Head
FLAIR MR.
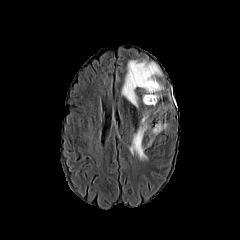
T1-weighted MR.
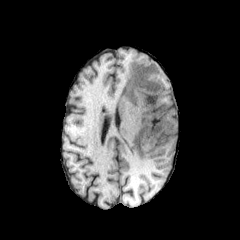
Post-contrast T1-weighted MR image.
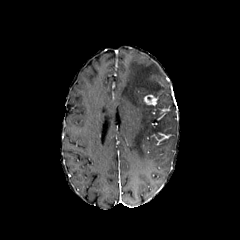
T2-weighted MRI.
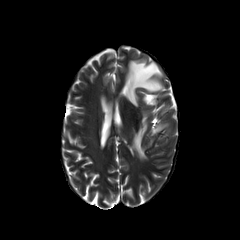
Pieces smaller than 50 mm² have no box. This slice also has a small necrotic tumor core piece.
{"enhancing_tumor": ["[144,94,157,105]"], "peritumoral_edema": ["[152,122,167,133]", "[121,60,163,106]", "[129,114,147,159]"]}